FLAIR magnetic resonance.
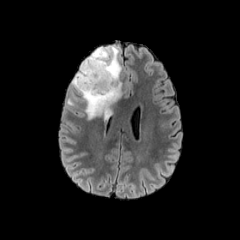
T1-weighted MR image.
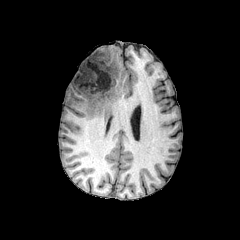
Post-contrast T1-weighted MR.
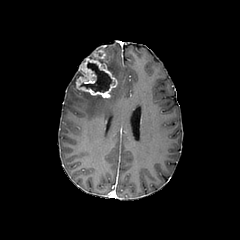
T2-weighted MR image.
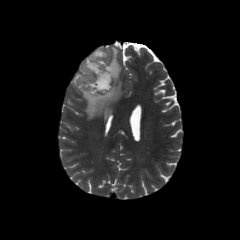
Axial view, Brain
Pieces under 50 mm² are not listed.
• peritumoral edema: 72:71:83:88, 76:46:122:119
• necrotic tumor core: 80:62:112:92
• enhancing tumor: 75:49:117:98